Slice index 75, Axial plane
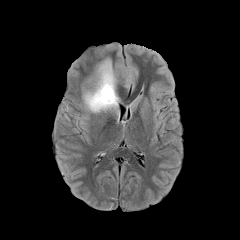
FLAIR MR image.
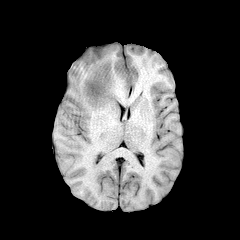
T1-weighted MR image of the same slice.
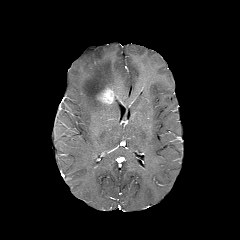
Post-contrast T1-weighted MR image.
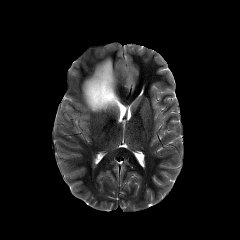
Same slice, T2-weighted MR image.
The peritumoral edema is located at 83:59:119:112. The enhancing tumor appears at 97:87:115:104.